Axial view; Brain; Slice index 105
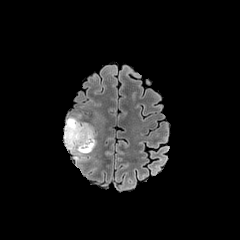
FLAIR MR.
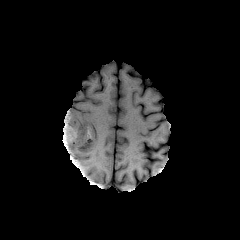
T1-weighted MRI of the same slice.
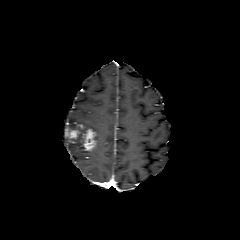
Post-contrast T1-weighted MR image.
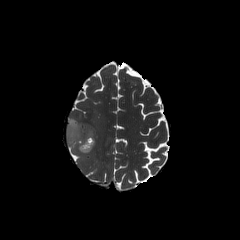
Same slice, T2-weighted MRI.
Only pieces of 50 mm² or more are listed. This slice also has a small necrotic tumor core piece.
enhancing_tumor:
  - <box>65,125,95,150</box>
peritumoral_edema:
  - <box>64,117,94,159</box>